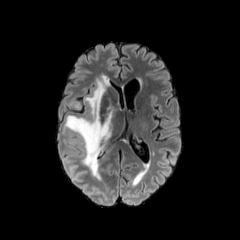
FLAIR MR image.
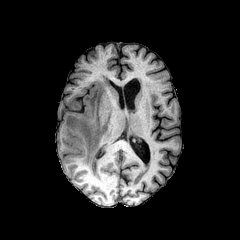
T1-weighted magnetic resonance.
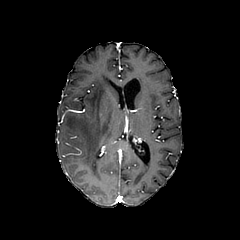
Post-contrast T1-weighted MRI.
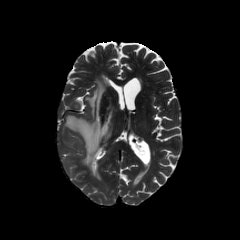
T2-weighted MR.
240x240 px
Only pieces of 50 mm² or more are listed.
Annotated regions:
• peritumoral edema: (left=63, top=77, right=117, bottom=178)